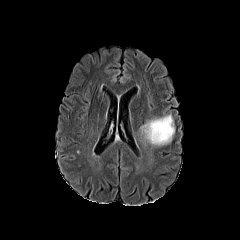
FLAIR MR image.
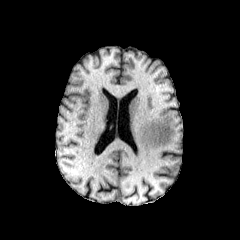
T1-weighted MR of the same slice.
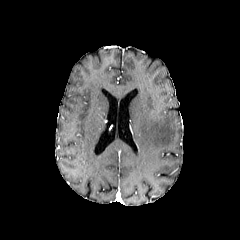
Post-contrast T1-weighted magnetic resonance.
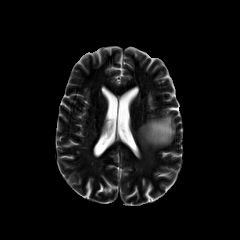
T2-weighted MRI.
Head. Axial view.
<segmentation>
  <peritumoral_edema>l=140, t=114, r=174, b=146</peritumoral_edema>
</segmentation>